Brain | Slice 118/155
FLAIR MR.
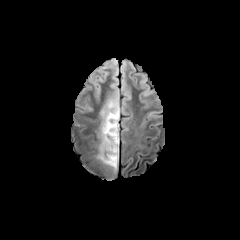
T1-weighted MRI.
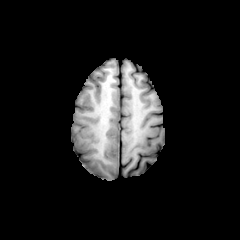
Post-contrast T1-weighted magnetic resonance.
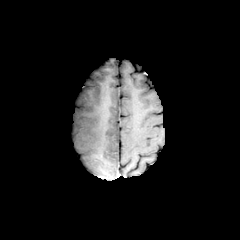
T2-weighted MR image.
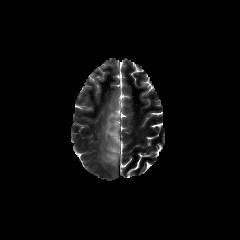
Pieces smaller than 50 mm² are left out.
<segmentation>
  <peritumoral_edema><bbox>100, 107, 119, 167</bbox></peritumoral_edema>
</segmentation>